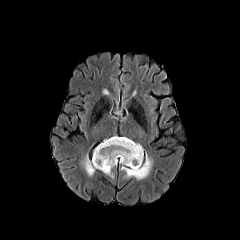
FLAIR magnetic resonance.
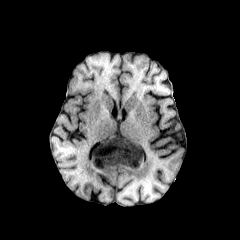
T1-weighted magnetic resonance of the same slice.
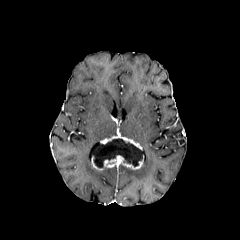
Post-contrast T1-weighted MRI.
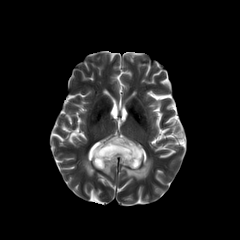
T2-weighted MR image.
Brain
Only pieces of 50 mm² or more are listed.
peritumoral_edema:
  - (x1=82, y1=155, x2=95, y2=175)
  - (x1=120, y1=158, x2=152, y2=179)
  - (x1=102, y1=168, x2=113, y2=178)
necrotic_tumor_core:
  - (x1=93, y1=138, x2=143, y2=167)
enhancing_tumor:
  - (x1=100, y1=136, x2=142, y2=150)
  - (x1=91, y1=154, x2=143, y2=170)